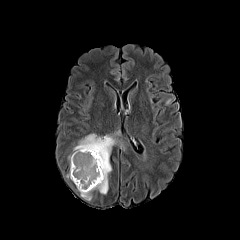
FLAIR magnetic resonance.
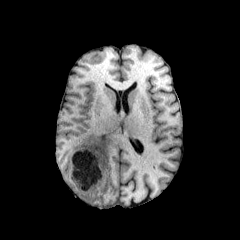
T1-weighted MRI.
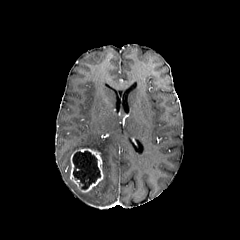
Post-contrast T1-weighted MR image of the same slice.
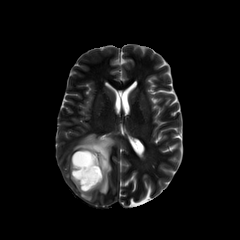
T2-weighted MR.
Brain
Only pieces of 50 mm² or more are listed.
enhancing tumor: [70,148,103,192] | necrotic tumor core: [72,151,100,189] | peritumoral edema: [72,133,125,200]